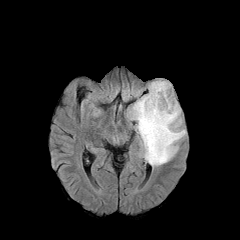
FLAIR MR.
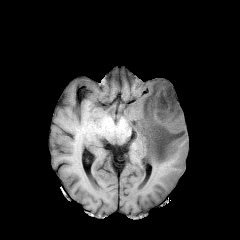
Same slice, T1-weighted MR image.
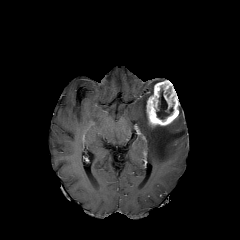
Post-contrast T1-weighted MR image.
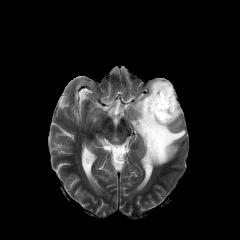
T2-weighted magnetic resonance of the same slice.
Segmented structures:
- enhancing tumor: <box>146,80,179,127</box>
- necrotic tumor core: <box>156,90,173,119</box>
- peritumoral edema: <box>129,79,186,166</box>